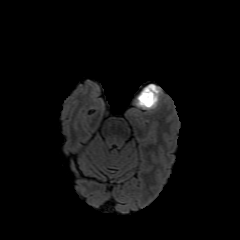
FLAIR MRI.
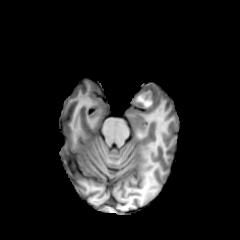
T1-weighted MR image of the same slice.
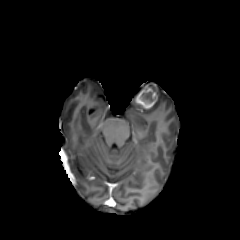
Same slice, post-contrast T1-weighted MR image.
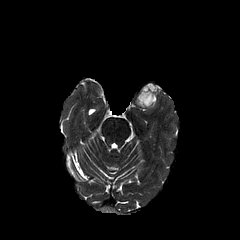
Same slice, T2-weighted MR image.
Axial view.
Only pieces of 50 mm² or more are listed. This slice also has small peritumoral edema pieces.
enhancing tumor: box=[136, 82, 160, 108]
necrotic tumor core: box=[140, 91, 155, 103]